FLAIR MR image.
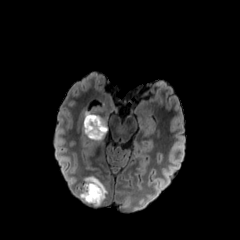
T1-weighted magnetic resonance.
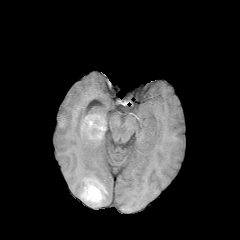
Post-contrast T1-weighted MRI.
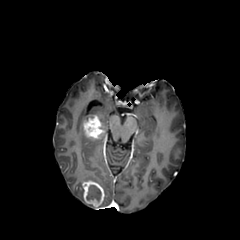
T2-weighted MRI.
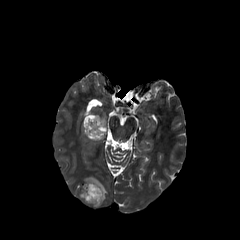
Axial view | 240x240 | Head
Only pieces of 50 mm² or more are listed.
The necrotic tumor core lies within 86 185 101 201. The 3 largest peritumoral edema regions are bounded by 82 124 105 141, 84 176 107 202, 97 115 107 131. 2 enhancing tumor regions are located at 82 180 104 207, 83 115 105 138.